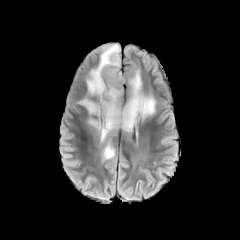
FLAIR magnetic resonance.
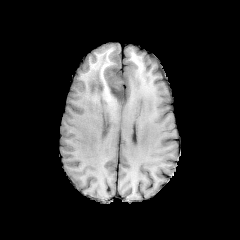
T1-weighted magnetic resonance of the same slice.
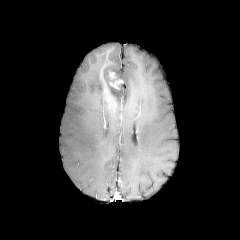
Post-contrast T1-weighted MR.
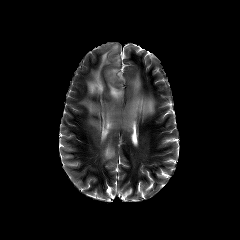
T2-weighted magnetic resonance.
Axial slice
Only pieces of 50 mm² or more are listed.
peritumoral edema: bounding box box(75, 44, 155, 161)
enhancing tumor: bounding box box(104, 68, 123, 89)